Image size 240x240
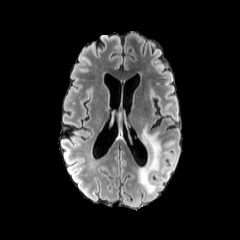
FLAIR MRI.
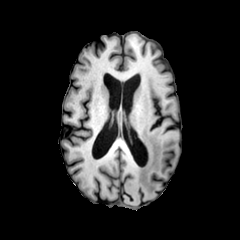
Same slice, T1-weighted MR.
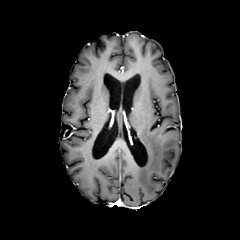
Post-contrast T1-weighted MR.
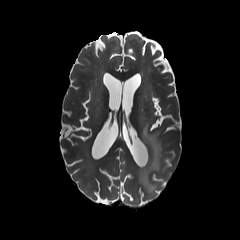
T2-weighted MR.
<segmentation>
  <peritumoral_edema>x1=138 y1=126 x2=161 y2=192</peritumoral_edema>
</segmentation>